FLAIR magnetic resonance.
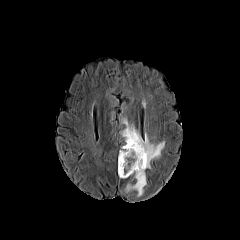
T1-weighted MRI.
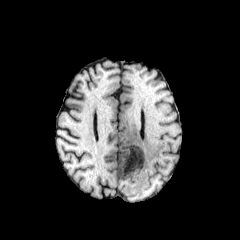
Post-contrast T1-weighted MRI.
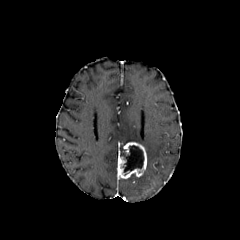
T2-weighted magnetic resonance.
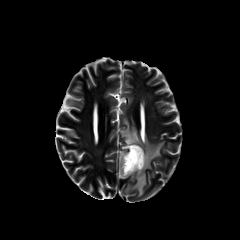
Head
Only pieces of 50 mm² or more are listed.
The enhancing tumor is located at bbox(118, 142, 146, 178). The 2 largest peritumoral edema regions appear at bbox(124, 172, 146, 196); bbox(122, 118, 164, 168). The necrotic tumor core lies within bbox(120, 145, 143, 172).